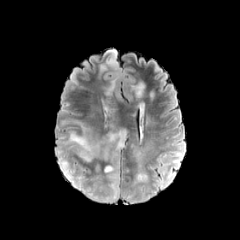
FLAIR MR.
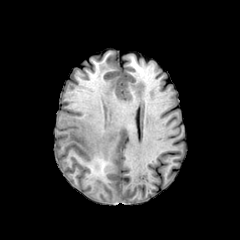
T1-weighted magnetic resonance of the same slice.
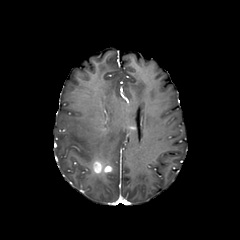
Post-contrast T1-weighted MR.
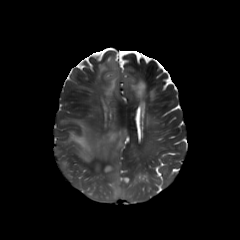
T2-weighted MRI.
240x240 px; Axial view
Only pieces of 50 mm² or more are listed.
enhancing tumor = 93,160,111,173
peritumoral edema = 131,82,144,97; 65,120,126,162; 106,78,116,95; 103,163,119,201; 60,160,72,179; 135,173,146,182